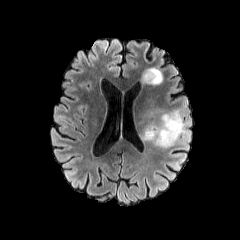
FLAIR MR.
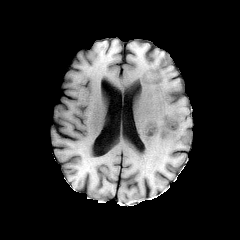
Same slice, T1-weighted MR.
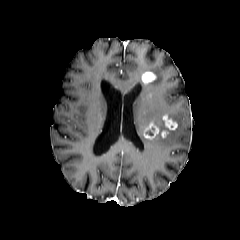
Post-contrast T1-weighted MR image of the same slice.
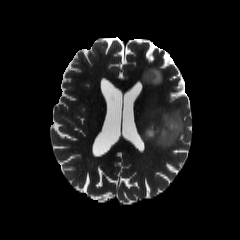
T2-weighted MRI.
Brain, 240x240, Axial plane
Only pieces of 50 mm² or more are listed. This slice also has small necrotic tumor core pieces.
enhancing tumor: l=143, t=114, r=178, b=139; l=141, t=72, r=156, b=84 | peritumoral edema: l=139, t=108, r=190, b=147; l=143, t=67, r=162, b=84